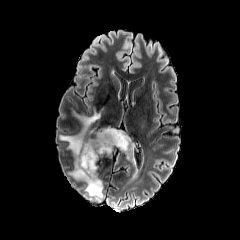
FLAIR MRI.
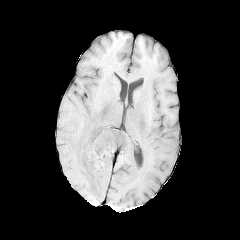
T1-weighted magnetic resonance of the same slice.
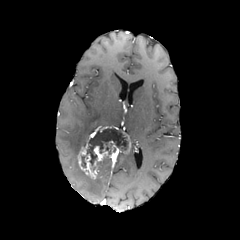
Same slice, post-contrast T1-weighted MR.
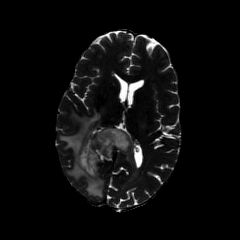
T2-weighted MR.
Image size 240x240 | Brain
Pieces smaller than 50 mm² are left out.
enhancing tumor — 77 127 132 179
necrotic tumor core — 86 129 127 165
peritumoral edema — 59 109 102 197